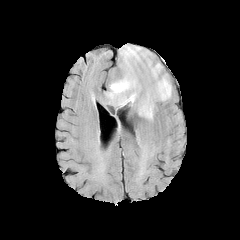
FLAIR magnetic resonance.
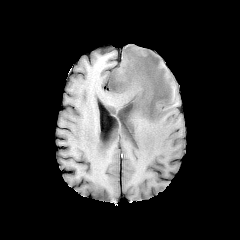
T1-weighted MR.
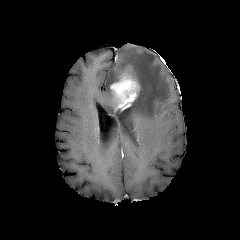
Same slice, post-contrast T1-weighted MRI.
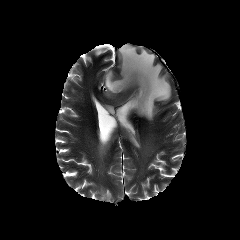
Same slice, T2-weighted MR.
Axial view.
The enhancing tumor lies within left=110, top=68, right=139, bottom=108. The peritumoral edema is at left=105, top=45, right=172, bottom=120.